Image size 240x240; Head; Axial slice
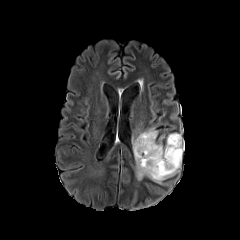
FLAIR magnetic resonance.
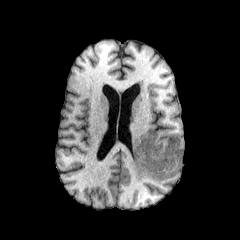
Same slice, T1-weighted magnetic resonance.
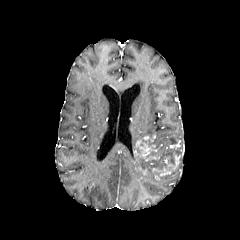
Post-contrast T1-weighted MR image of the same slice.
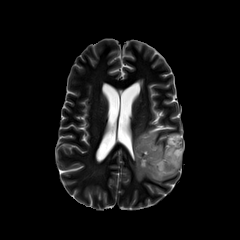
T2-weighted MR image of the same slice.
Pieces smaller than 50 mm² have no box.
The 3 largest peritumoral edema regions are bounded by bbox=[164, 133, 180, 147]; bbox=[135, 157, 180, 184]; bbox=[133, 128, 157, 149]. The 3 largest enhancing tumor regions appear at bbox=[152, 151, 180, 179]; bbox=[134, 135, 159, 161]; bbox=[136, 159, 148, 174]. The largest necrotic tumor core region appears at bbox=[136, 137, 180, 177].